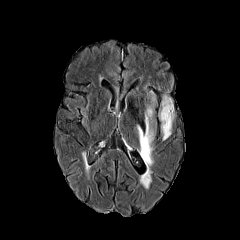
FLAIR MR image.
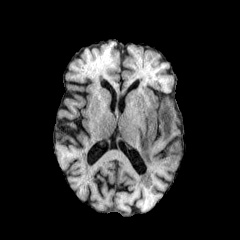
T1-weighted MRI.
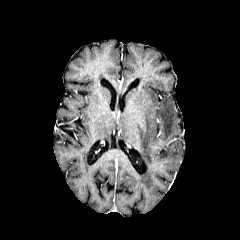
Post-contrast T1-weighted MR image of the same slice.
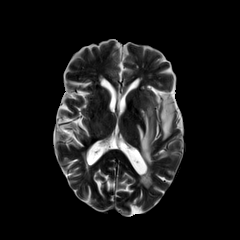
Same slice, T2-weighted MR.
peritumoral edema: bounding box (159,96,174,140), (137,106,154,169)